Head, Slice 52/155
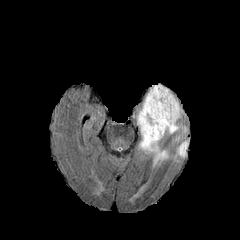
FLAIR MR image.
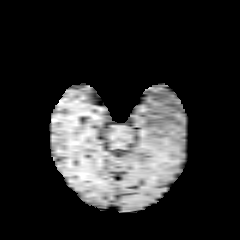
Same slice, T1-weighted MRI.
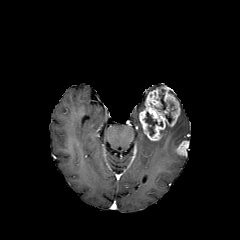
Post-contrast T1-weighted MRI of the same slice.
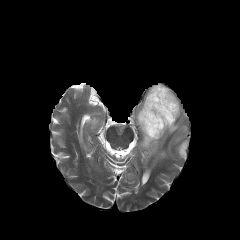
Same slice, T2-weighted magnetic resonance.
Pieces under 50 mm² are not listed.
enhancing tumor: region(176, 141, 188, 156); region(139, 86, 180, 140) | peritumoral edema: region(160, 122, 186, 138); region(136, 103, 168, 165) | necrotic tumor core: region(159, 94, 166, 110); region(145, 112, 157, 136)